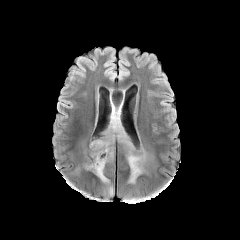
FLAIR MR.
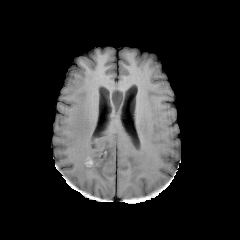
T1-weighted MR image.
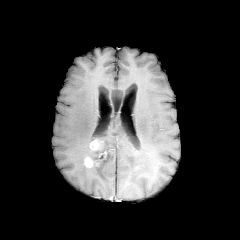
Same slice, post-contrast T1-weighted MR image.
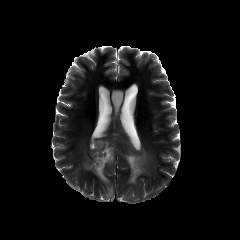
T2-weighted MR image of the same slice.
240x240 px, Axial view
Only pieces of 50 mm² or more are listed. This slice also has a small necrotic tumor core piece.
enhancing tumor: <bbox>84, 157, 94, 167</bbox>, <bbox>90, 139, 103, 151</bbox>
peritumoral edema: <bbox>85, 110, 147, 194</bbox>